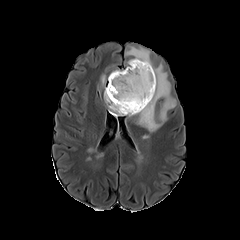
FLAIR MRI.
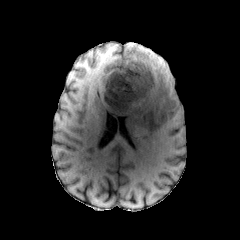
T1-weighted MR.
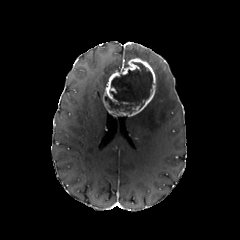
Post-contrast T1-weighted MR.
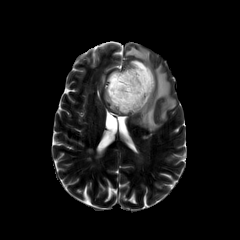
Same slice, T2-weighted MR.
Axial view; Head
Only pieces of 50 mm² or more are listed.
{
  "enhancing_tumor": [
    "<bbox>104, 58, 155, 116</bbox>"
  ],
  "peritumoral_edema": [
    "<bbox>127, 48, 151, 66</bbox>",
    "<bbox>135, 65, 176, 132</bbox>"
  ],
  "necrotic_tumor_core": [
    "<bbox>105, 62, 152, 113</bbox>"
  ]
}